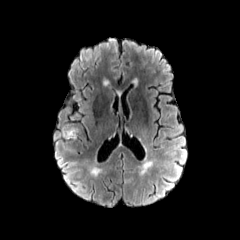
FLAIR MR.
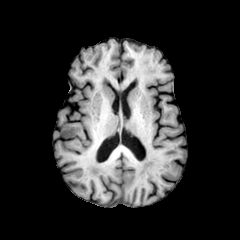
T1-weighted magnetic resonance.
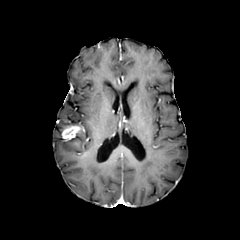
Post-contrast T1-weighted MR image of the same slice.
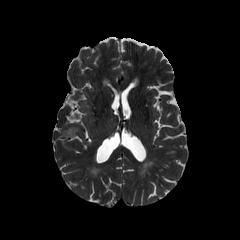
Same slice, T2-weighted MR image.
Image size 240x240; Axial slice
<segmentation>
  <enhancing_tumor><bbox>62, 126, 80, 139</bbox></enhancing_tumor>
</segmentation>